Slice 98/155, Image width 240 mm, 1.00 mm slice spacing, Axial plane, Brain
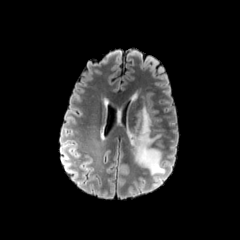
FLAIR MRI.
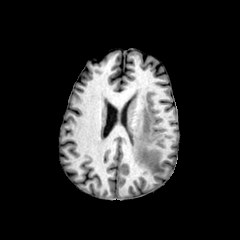
T1-weighted MRI.
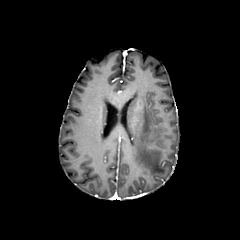
Same slice, post-contrast T1-weighted magnetic resonance.
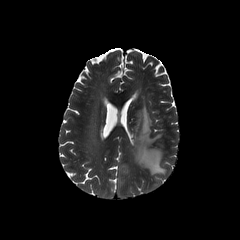
T2-weighted MR image.
Findings:
- peritumoral edema: 129:107:165:174